FLAIR MRI.
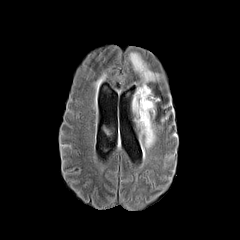
T1-weighted MRI.
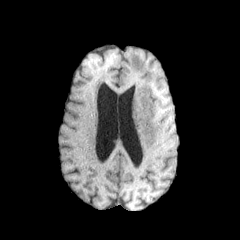
Post-contrast T1-weighted MR.
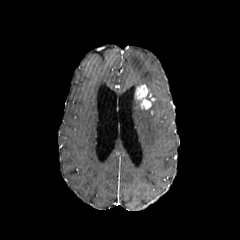
T2-weighted magnetic resonance.
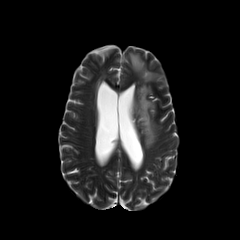
Image size 240x240; Brain
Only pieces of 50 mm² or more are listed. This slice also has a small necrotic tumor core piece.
Findings:
* enhancing tumor: [135, 84, 154, 109]
* peritumoral edema: [132, 94, 155, 148], [129, 52, 158, 84]